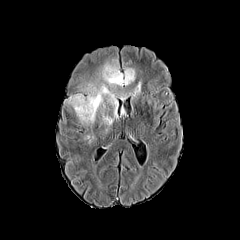
FLAIR magnetic resonance.
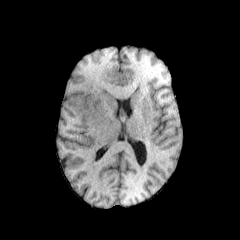
T1-weighted magnetic resonance.
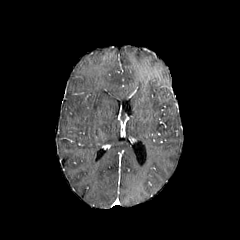
Post-contrast T1-weighted MR of the same slice.
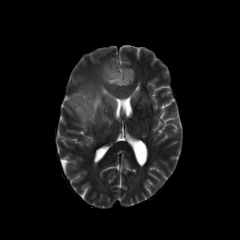
T2-weighted MR image.
Head.
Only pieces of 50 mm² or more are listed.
Annotated regions:
- peritumoral edema: (69,83,116,123), (102,114,112,124), (133,81,141,96), (102,64,134,86)